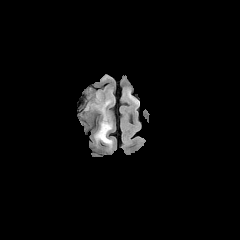
FLAIR MR.
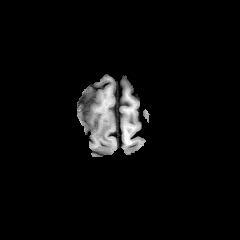
T1-weighted MR image.
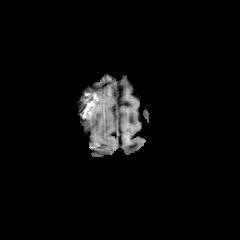
Same slice, post-contrast T1-weighted MRI.
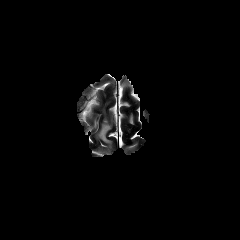
T2-weighted MRI.
Image size 240x240; Brain
The peritumoral edema is bounded by (left=94, top=89, right=114, bottom=148). The enhancing tumor lies within (left=82, top=91, right=98, bottom=117).